Image size 240x240. Head.
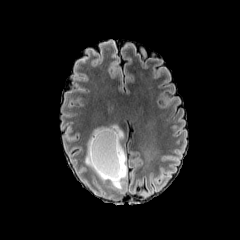
FLAIR MR image.
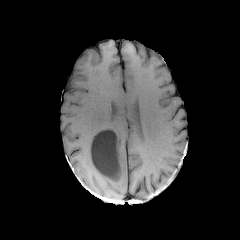
Same slice, T1-weighted MR image.
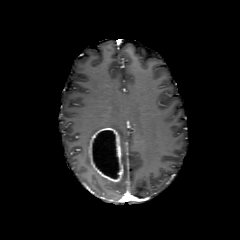
Post-contrast T1-weighted magnetic resonance.
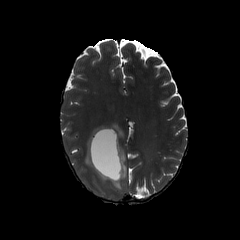
T2-weighted MRI.
necrotic tumor core: <bbox>92, 130, 119, 178</bbox> | enhancing tumor: <bbox>89, 127, 123, 182</bbox> | peritumoral edema: <bbox>85, 124, 126, 190</bbox>